FLAIR MRI.
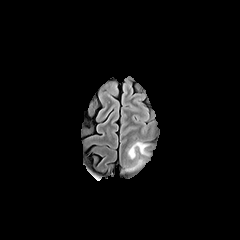
T1-weighted MR image.
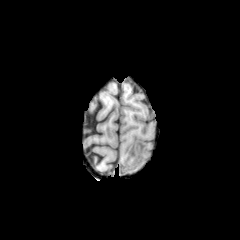
Post-contrast T1-weighted MR.
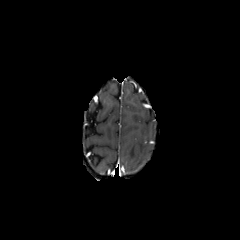
T2-weighted MRI.
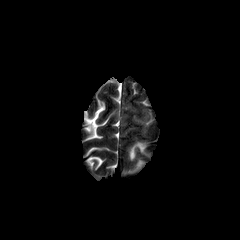
240x240 px | Brain | Axial view
peritumoral edema: bounding box region(128, 141, 151, 159); region(125, 160, 142, 171)